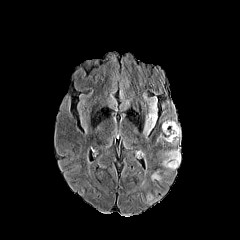
FLAIR MR image.
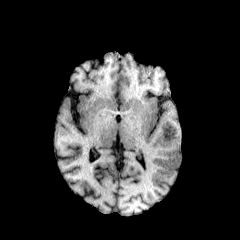
T1-weighted magnetic resonance.
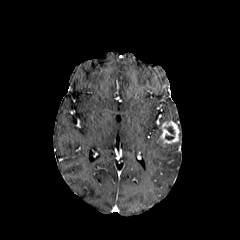
Post-contrast T1-weighted MRI of the same slice.
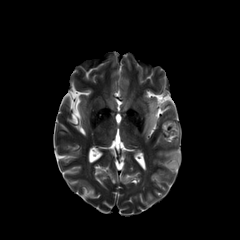
Same slice, T2-weighted MR image.
Axial plane. Brain. Image size 240x240.
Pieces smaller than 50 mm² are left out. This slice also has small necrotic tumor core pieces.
<segmentation>
  <enhancing_tumor>region(160, 121, 179, 144)</enhancing_tumor>
  <peritumoral_edema>region(144, 100, 156, 134); region(163, 148, 180, 169)</peritumoral_edema>
</segmentation>